FLAIR magnetic resonance.
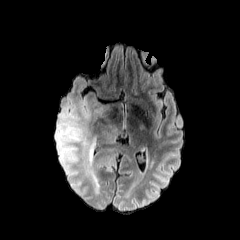
T1-weighted MR image.
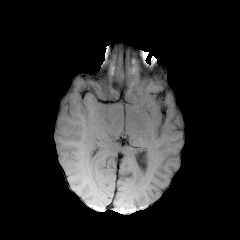
Post-contrast T1-weighted MRI.
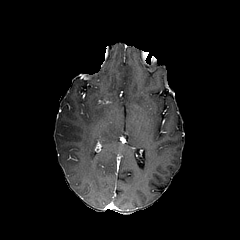
T2-weighted magnetic resonance.
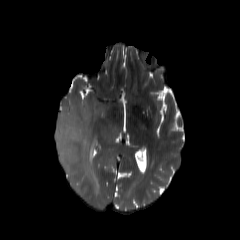
Axial plane | Head
2 peritumoral edema regions are bounded by (105, 126, 118, 143), (55, 95, 116, 194).